FLAIR magnetic resonance.
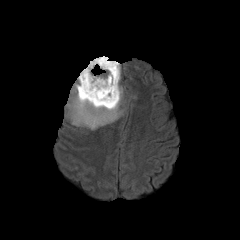
T1-weighted MR image.
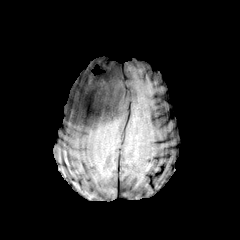
Post-contrast T1-weighted MR image.
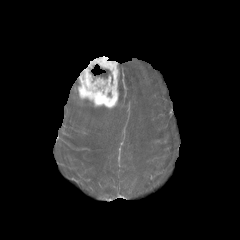
T2-weighted MRI.
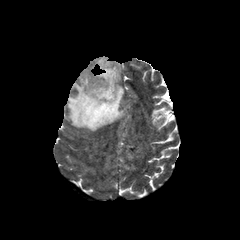
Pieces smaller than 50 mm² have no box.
necrotic tumor core: bounding box (left=95, top=67, right=110, bottom=78)
peritumoral edema: bounding box (left=66, top=63, right=125, bottom=130)
enhancing tumor: bounding box (left=77, top=56, right=119, bottom=108)